FLAIR MR image.
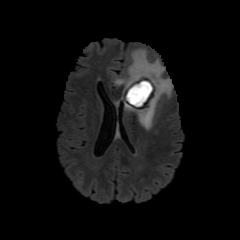
T1-weighted MR image.
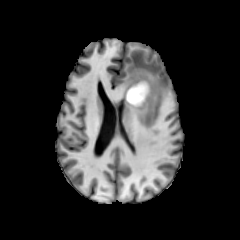
Post-contrast T1-weighted MR.
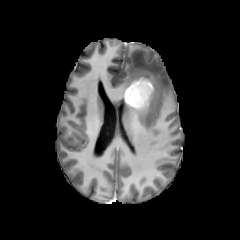
T2-weighted MR image.
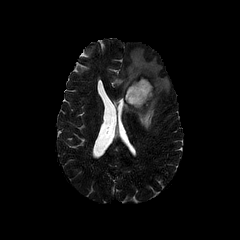
Image size 240x240 | Brain
Segmented structures:
- necrotic tumor core: x1=127, y1=80, x2=149, y2=104
- peritumoral edema: x1=114, y1=49, x2=171, y2=130
- enhancing tumor: x1=125, y1=78, x2=153, y2=108